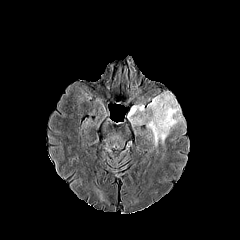
FLAIR MR image.
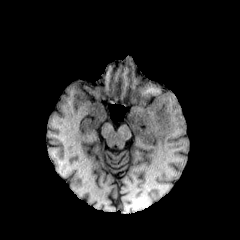
T1-weighted MRI.
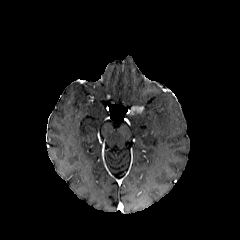
Post-contrast T1-weighted MR.
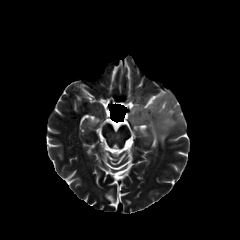
T2-weighted MRI of the same slice.
Head
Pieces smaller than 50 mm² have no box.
The largest peritumoral edema region is bounded by (131, 93, 182, 145). The enhancing tumor is bounded by (131, 106, 143, 113).